Image covers 240 mm x 240 mm; Slice 111 of 155; Axial plane; Brain; Image size 240x240
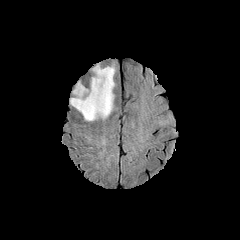
FLAIR magnetic resonance.
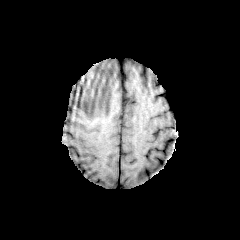
Same slice, T1-weighted MRI.
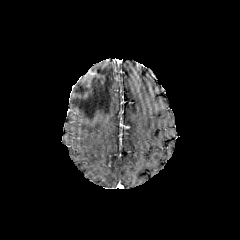
Post-contrast T1-weighted magnetic resonance.
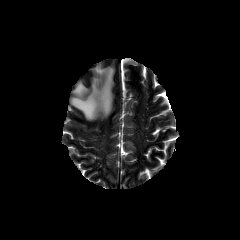
T2-weighted MR image.
<segmentation>
  <peritumoral_edema>left=70, top=64, right=115, bottom=121</peritumoral_edema>
</segmentation>